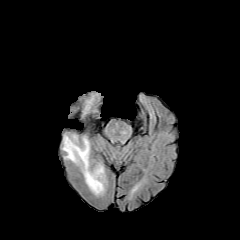
FLAIR MR.
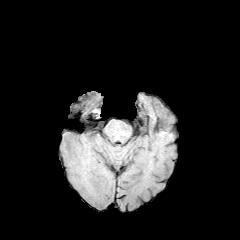
T1-weighted MRI.
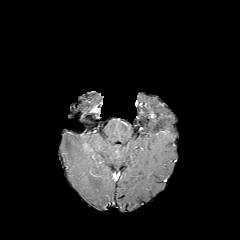
Post-contrast T1-weighted magnetic resonance.
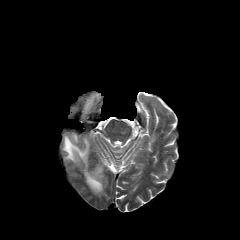
Same slice, T2-weighted MR.
Head
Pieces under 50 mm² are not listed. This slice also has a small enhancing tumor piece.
peritumoral edema: bbox(83, 93, 99, 114); bbox(62, 134, 106, 195)